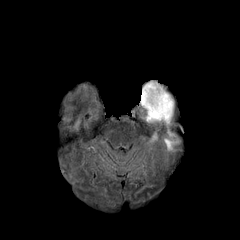
FLAIR MR.
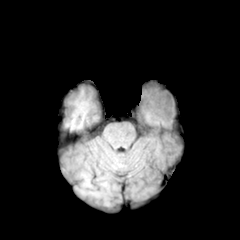
Same slice, T1-weighted MR.
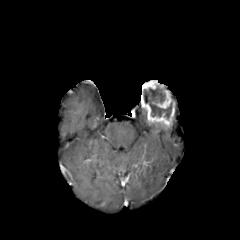
Post-contrast T1-weighted MR.
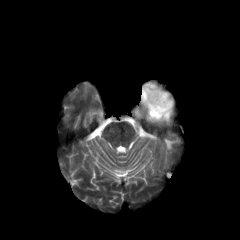
T2-weighted MRI of the same slice.
240x240 px; Brain
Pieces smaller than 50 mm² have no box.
The largest enhancing tumor region is located at (x1=140, y1=80, x2=174, y2=129). The largest peritumoral edema region is located at (x1=164, y1=130, x2=178, y2=150). The necrotic tumor core is at (x1=144, y1=88, x2=171, y2=118).